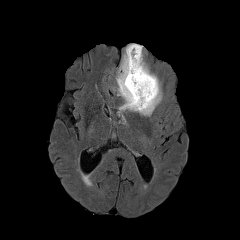
FLAIR MRI.
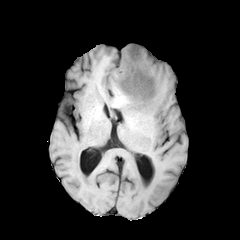
T1-weighted MR.
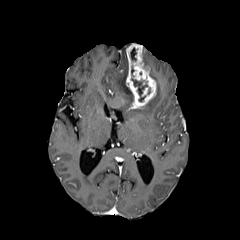
Post-contrast T1-weighted MR image.
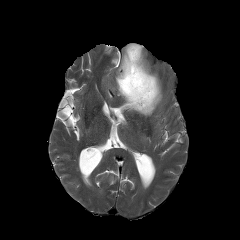
T2-weighted MR image of the same slice.
Axial slice
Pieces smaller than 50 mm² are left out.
The largest peritumoral edema region is bounded by {"x1": 116, "y1": 49, "x2": 162, "y2": 115}. The 2 largest necrotic tumor core regions appear at {"x1": 130, "y1": 47, "x2": 136, "y2": 60}, {"x1": 131, "y1": 79, "x2": 147, "y2": 101}. The enhancing tumor is located at {"x1": 126, "y1": 43, "x2": 156, "y2": 108}.